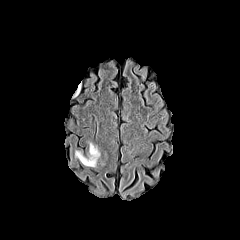
FLAIR MR image.
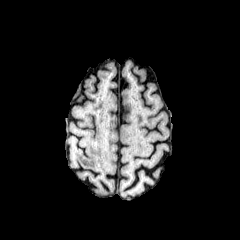
T1-weighted MR image.
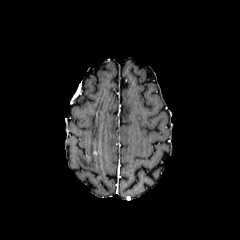
Post-contrast T1-weighted MR image.
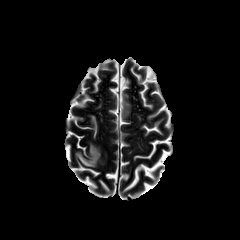
T2-weighted magnetic resonance.
Axial view.
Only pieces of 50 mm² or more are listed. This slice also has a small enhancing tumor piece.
- peritumoral edema: 74,141,101,168